240x240 px
FLAIR magnetic resonance.
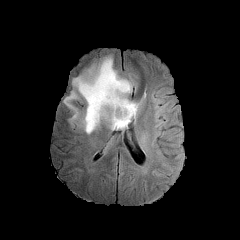
T1-weighted magnetic resonance.
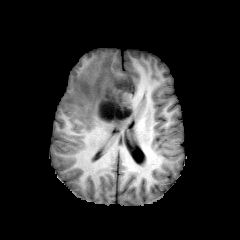
Post-contrast T1-weighted MR.
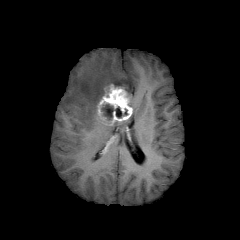
T2-weighted MRI.
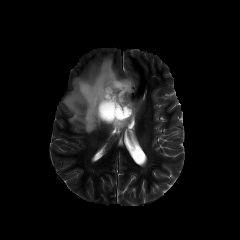
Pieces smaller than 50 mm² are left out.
<segmentation>
  <necrotic_tumor_core>bbox=[102, 104, 113, 119]; bbox=[115, 107, 122, 117]</necrotic_tumor_core>
  <peritumoral_edema>bbox=[106, 100, 140, 129]; bbox=[63, 56, 133, 133]</peritumoral_edema>
  <enhancing_tumor>bbox=[96, 84, 132, 125]</enhancing_tumor>
</segmentation>